Slice 63/155, Head
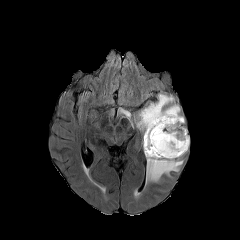
FLAIR magnetic resonance.
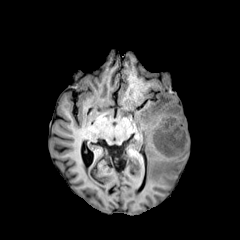
T1-weighted MR.
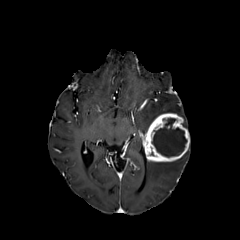
Same slice, post-contrast T1-weighted magnetic resonance.
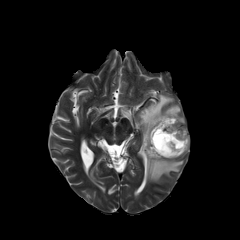
T2-weighted magnetic resonance of the same slice.
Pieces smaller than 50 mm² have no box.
The 3 largest peritumoral edema regions are located at (119, 106, 130, 118), (147, 159, 183, 181), (136, 94, 180, 134). The largest enhancing tumor region is bounded by (143, 113, 189, 161). The largest necrotic tumor core region is at (152, 118, 186, 156).